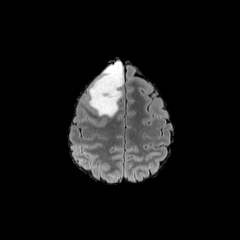
FLAIR magnetic resonance.
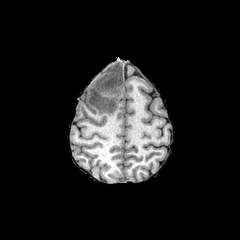
Same slice, T1-weighted MRI.
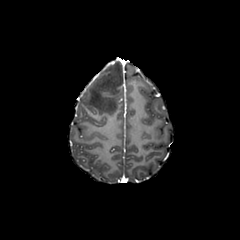
Post-contrast T1-weighted magnetic resonance.
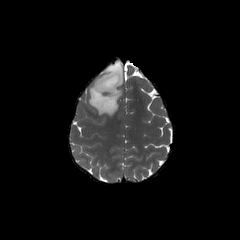
T2-weighted MR.
Findings:
* peritumoral edema: x1=88, y1=61, x2=123, y2=116